Image width 240 mm, 1.00 mm slice spacing; Axial plane
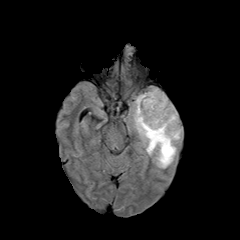
FLAIR MRI.
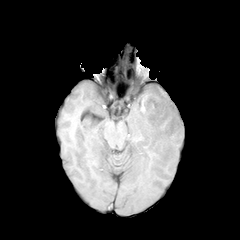
T1-weighted magnetic resonance.
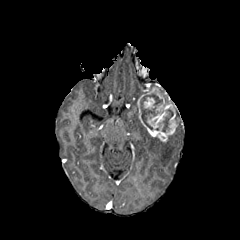
Post-contrast T1-weighted magnetic resonance.
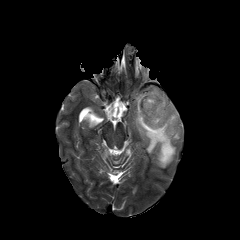
T2-weighted MR.
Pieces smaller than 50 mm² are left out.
<segmentation>
  <enhancing_tumor>137 87 177 142</enhancing_tumor>
  <peritumoral_edema>133 94 182 167</peritumoral_edema>
  <necrotic_tumor_core>141 94 162 130, 162 109 173 132</necrotic_tumor_core>
</segmentation>